240x240 px; Slice 76/155; Image width 240 mm
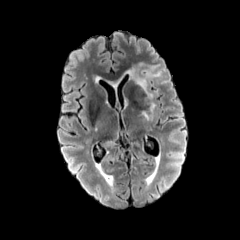
FLAIR MR.
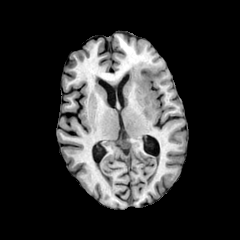
T1-weighted MR.
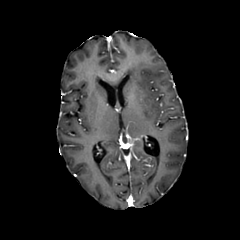
Post-contrast T1-weighted magnetic resonance.
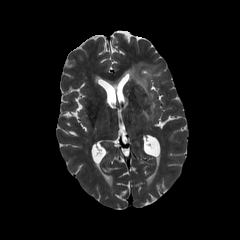
Same slice, T2-weighted magnetic resonance.
2 peritumoral edema regions are bounded by rect(142, 102, 155, 119); rect(125, 62, 161, 99).